Brain; Slice index 127
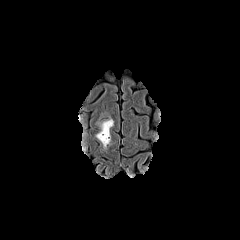
FLAIR magnetic resonance.
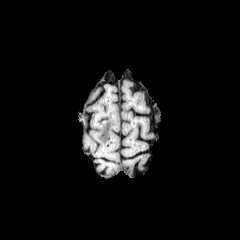
T1-weighted magnetic resonance.
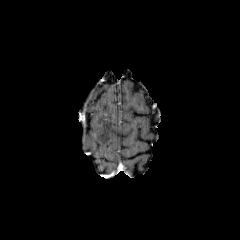
Post-contrast T1-weighted MR.
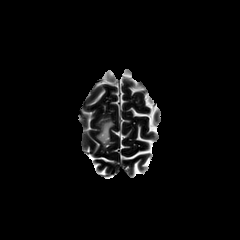
Same slice, T2-weighted MR.
peritumoral edema: 96 119 113 147